FLAIR MR.
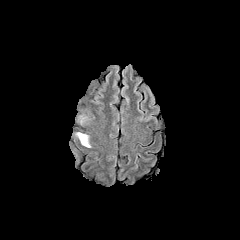
T1-weighted magnetic resonance.
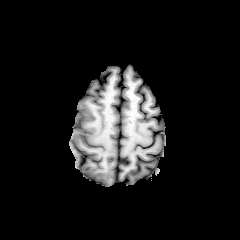
Post-contrast T1-weighted magnetic resonance.
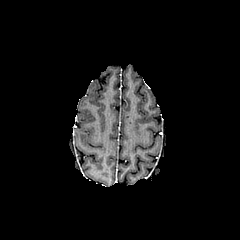
T2-weighted MRI.
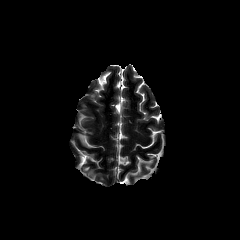
Image size 240x240.
{
  "peritumoral_edema": [
    "(left=78, top=133, right=88, bottom=146)"
  ]
}